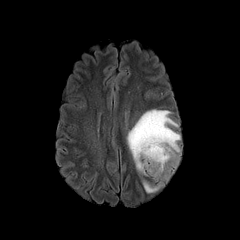
FLAIR MR image.
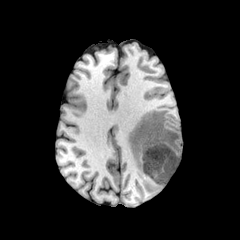
T1-weighted MRI.
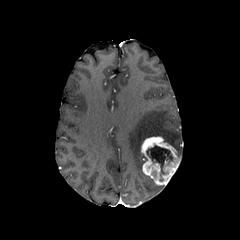
Post-contrast T1-weighted MRI.
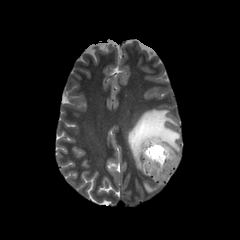
T2-weighted MR image.
240x240 px, Brain
necrotic tumor core: 147, 145, 172, 173 | enhancing tumor: 141, 136, 180, 185 | peritumoral edema: 143, 181, 160, 192; 127, 109, 180, 173